FLAIR MR.
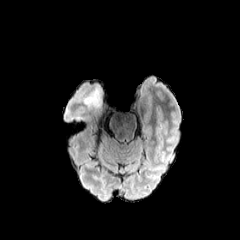
T1-weighted MRI.
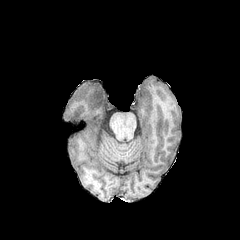
Post-contrast T1-weighted magnetic resonance.
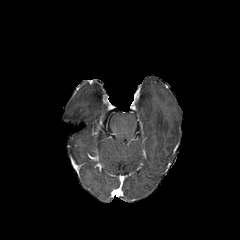
T2-weighted magnetic resonance.
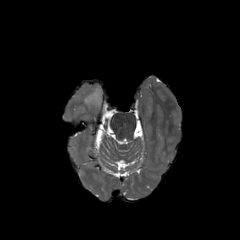
Axial view
The peritumoral edema is at (x1=84, y1=84, x2=109, y2=111).